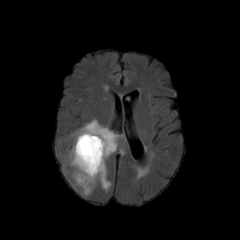
FLAIR MR.
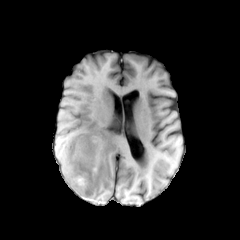
Same slice, T1-weighted MR image.
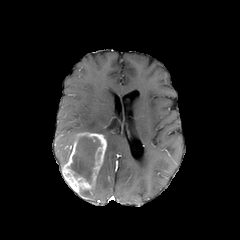
Post-contrast T1-weighted MR of the same slice.
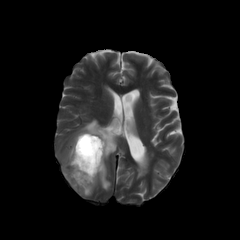
T2-weighted MRI.
Axial plane
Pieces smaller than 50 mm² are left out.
<segmentation>
  <enhancing_tumor><bbox>62, 132, 106, 193</bbox></enhancing_tumor>
  <necrotic_tumor_core><bbox>71, 136, 100, 180</bbox></necrotic_tumor_core>
  <peritumoral_edema><bbox>71, 119, 122, 190</bbox></peritumoral_edema>
</segmentation>